FLAIR magnetic resonance.
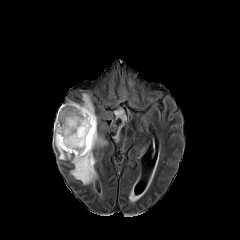
T1-weighted MR image.
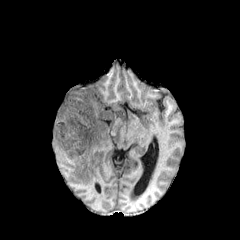
Post-contrast T1-weighted MRI.
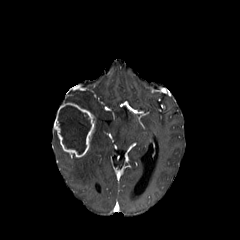
T2-weighted magnetic resonance.
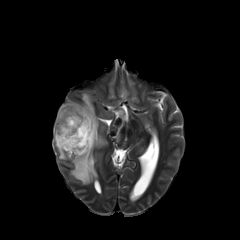
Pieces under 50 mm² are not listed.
{
  "necrotic_tumor_core": [
    "58,105,91,154"
  ],
  "peritumoral_edema": [
    "113,107,127,142",
    "70,93,107,184",
    "53,132,70,160",
    "128,191,140,203"
  ],
  "enhancing_tumor": [
    "54,102,95,157"
  ]
}